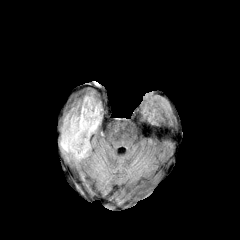
FLAIR MR image.
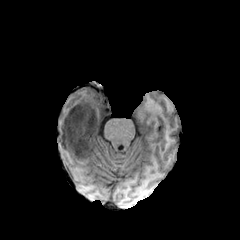
Same slice, T1-weighted magnetic resonance.
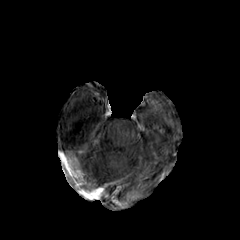
Same slice, post-contrast T1-weighted MR.
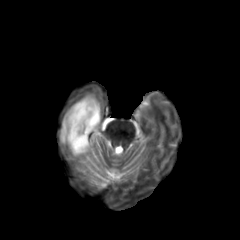
T2-weighted magnetic resonance of the same slice.
Head, Axial plane
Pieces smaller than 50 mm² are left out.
enhancing tumor: bounding box (77,143,88,154)
peritumoral edema: bounding box (60,92,101,154), (76,151,92,162)
necrotic tumor core: bounding box (68,115,97,152)